FLAIR MR.
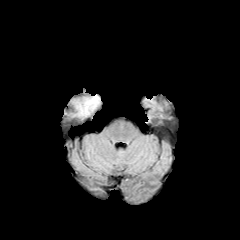
T1-weighted MRI.
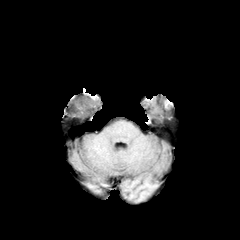
Post-contrast T1-weighted MR image.
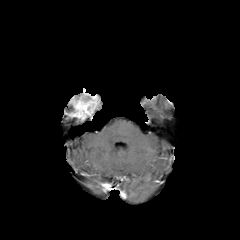
T2-weighted magnetic resonance.
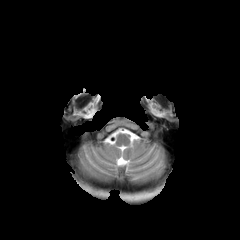
The enhancing tumor is located at {"x1": 65, "y1": 89, "x2": 100, "y2": 120}.